Head | Axial slice | Image width 240 mm, 1.00 mm slice spacing
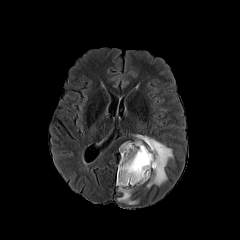
FLAIR MRI.
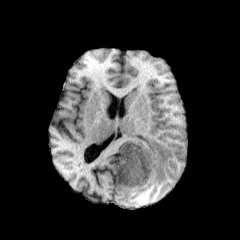
T1-weighted magnetic resonance.
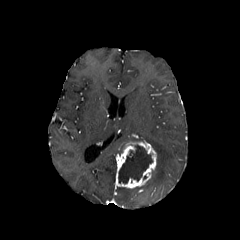
Post-contrast T1-weighted MR image of the same slice.
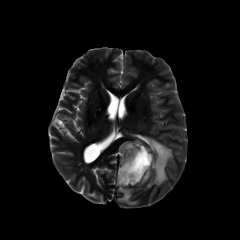
T2-weighted MR image.
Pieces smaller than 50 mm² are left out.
necrotic tumor core: (118,145,152,183) | enhancing tumor: (116,140,156,188) | peritumoral edema: (135,135,173,188), (117,187,137,204)